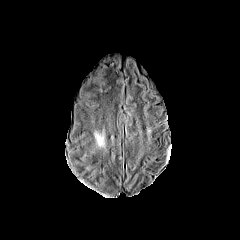
FLAIR MR.
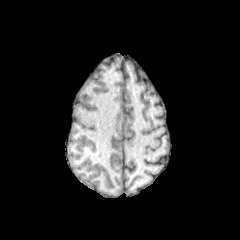
T1-weighted MR image.
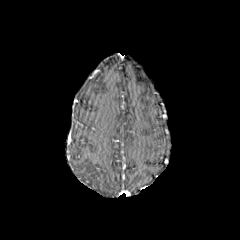
Post-contrast T1-weighted magnetic resonance.
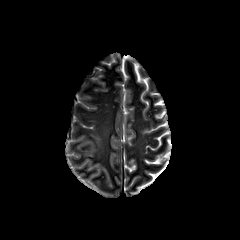
T2-weighted magnetic resonance of the same slice.
Brain, Axial view, Image size 240x240
• peritumoral edema: rect(95, 134, 103, 145)